Axial slice; Image width 240 mm
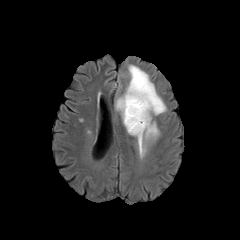
FLAIR magnetic resonance.
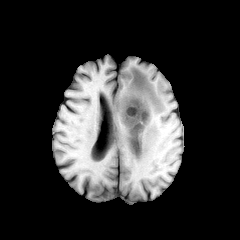
Same slice, T1-weighted magnetic resonance.
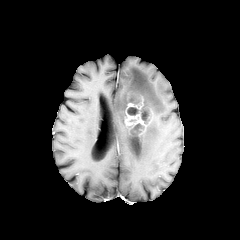
Post-contrast T1-weighted MR of the same slice.
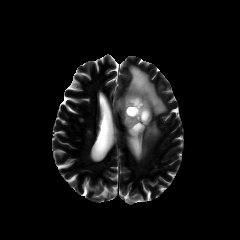
T2-weighted magnetic resonance.
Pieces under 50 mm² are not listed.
enhancing tumor — [125, 96, 151, 130]
necrotic tumor core — [130, 123, 144, 134], [128, 107, 138, 115], [141, 107, 149, 123]
peritumoral edema — [115, 65, 166, 158]